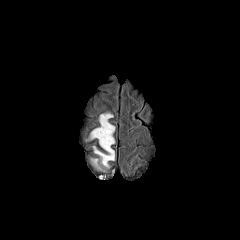
FLAIR magnetic resonance.
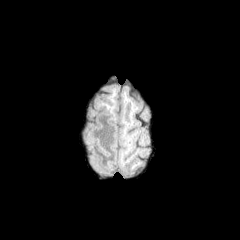
Same slice, T1-weighted MR.
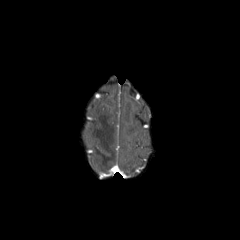
Post-contrast T1-weighted magnetic resonance of the same slice.
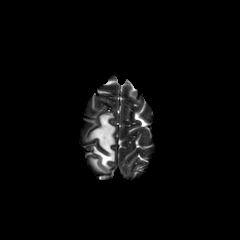
Same slice, T2-weighted MR.
Brain. Axial slice.
{
  "peritumoral_edema": [
    "bbox(91, 159, 102, 170)",
    "bbox(90, 113, 115, 168)"
  ]
}